Slice 86 of 155 | 240x240 px | Head
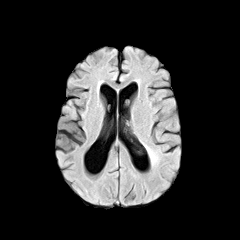
FLAIR MR.
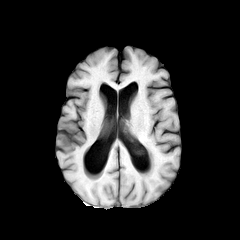
T1-weighted magnetic resonance of the same slice.
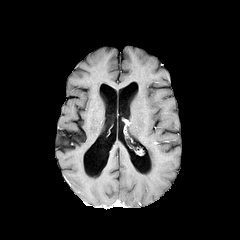
Post-contrast T1-weighted magnetic resonance.
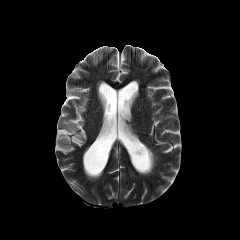
T2-weighted magnetic resonance.
peritumoral_edema:
  - bbox=[143, 143, 158, 164]